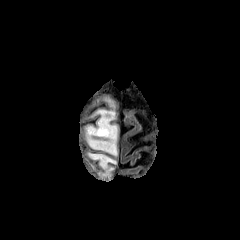
FLAIR MR.
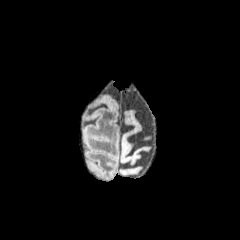
Same slice, T1-weighted MR.
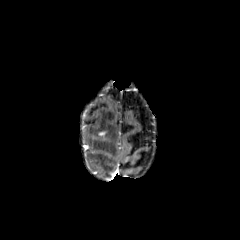
Post-contrast T1-weighted MR image of the same slice.
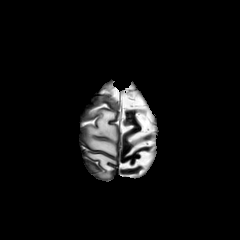
T2-weighted MR image.
Axial slice. Head.
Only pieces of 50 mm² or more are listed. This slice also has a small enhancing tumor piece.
{"peritumoral_edema": ["(left=86, top=109, right=117, bottom=156)", "(left=88, top=153, right=116, bottom=177)"]}